Image width 240 mm | 240x240 | Brain | Axial view | Slice 130 of 155
FLAIR MR.
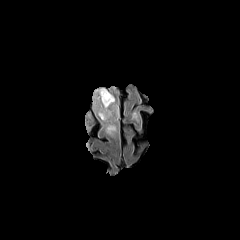
T1-weighted MR image.
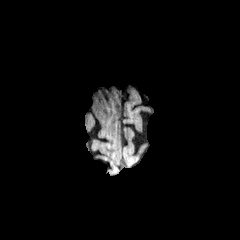
Post-contrast T1-weighted MR.
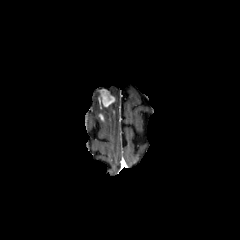
T2-weighted MR image.
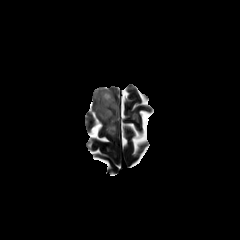
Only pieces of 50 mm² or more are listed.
* enhancing tumor: left=98, top=89, right=114, bottom=106
* peritumoral edema: left=132, top=111, right=140, bottom=122; left=92, top=88, right=119, bottom=136